FLAIR MR.
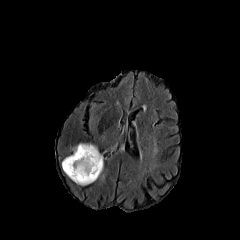
T1-weighted MRI.
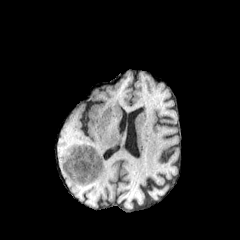
Post-contrast T1-weighted MR image.
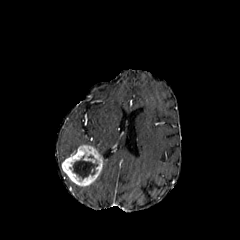
T2-weighted magnetic resonance.
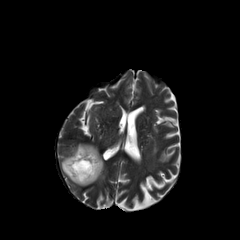
Head | Image size 240x240 | Axial plane
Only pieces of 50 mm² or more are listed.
peritumoral edema: bounding box 71,143,98,153
necrotic tumor core: bounding box 73,159,97,178
enhancing tumor: bounding box 62,145,103,186